Axial view
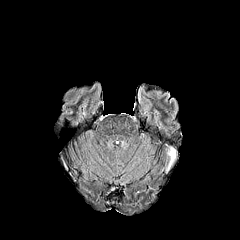
FLAIR MR.
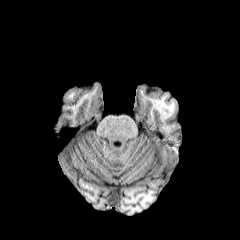
Same slice, T1-weighted magnetic resonance.
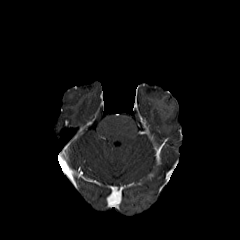
Post-contrast T1-weighted MR image.
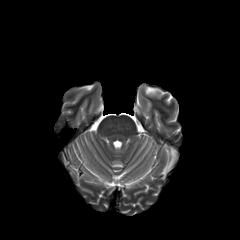
T2-weighted MRI.
Findings:
• peritumoral edema: [x1=166, y1=147, x2=176, y2=170]